Head
FLAIR MR image.
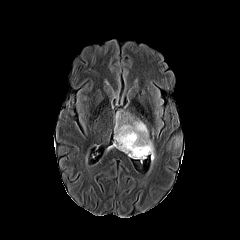
T1-weighted MR image.
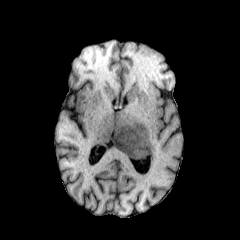
Post-contrast T1-weighted magnetic resonance.
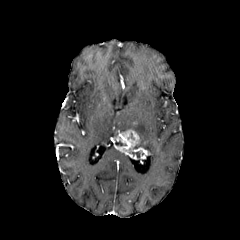
T2-weighted MR image.
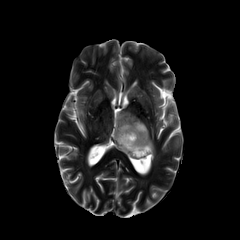
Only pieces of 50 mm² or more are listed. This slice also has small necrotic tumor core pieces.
enhancing tumor: bounding box box=[113, 129, 150, 159]
peritumoral edema: bounding box box=[115, 113, 154, 159]